FLAIR MRI.
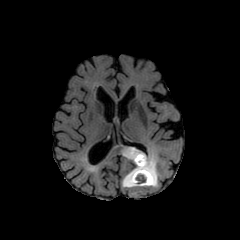
T1-weighted MRI.
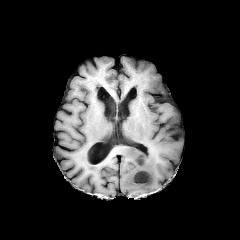
Post-contrast T1-weighted MR.
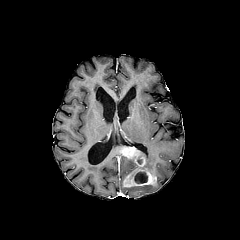
T2-weighted magnetic resonance.
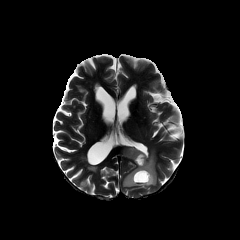
Head
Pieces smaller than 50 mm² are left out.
necrotic tumor core: left=134, top=172, right=147, bottom=183 | peritumoral edema: left=127, top=153, right=159, bottom=188 | enhancing tumor: left=121, top=147, right=156, bottom=187